Axial view.
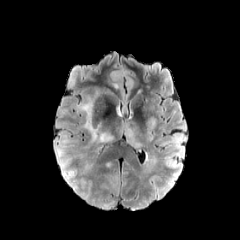
FLAIR MR.
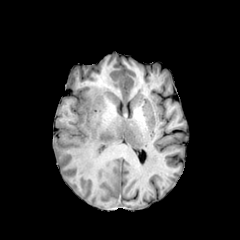
Same slice, T1-weighted MR image.
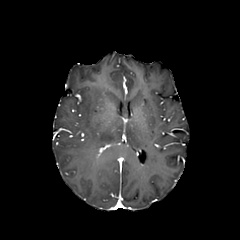
Same slice, post-contrast T1-weighted MR image.
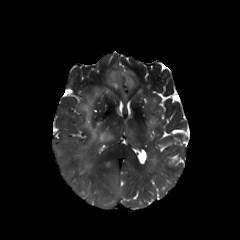
T2-weighted MRI.
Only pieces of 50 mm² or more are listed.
peritumoral_edema:
  - bbox(79, 97, 113, 143)
  - bbox(122, 122, 142, 148)
  - bbox(56, 148, 63, 158)